FLAIR MR.
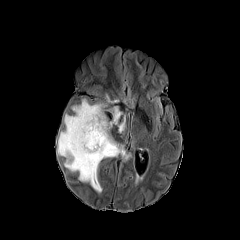
T1-weighted MR image.
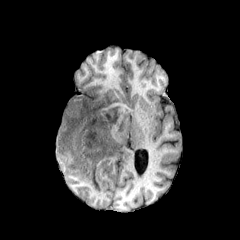
Post-contrast T1-weighted MR.
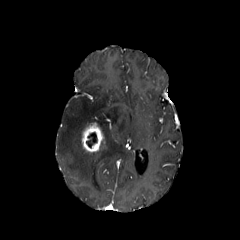
T2-weighted magnetic resonance.
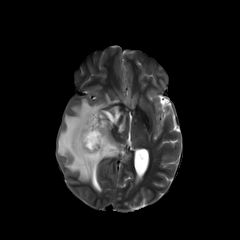
Head
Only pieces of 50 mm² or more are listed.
necrotic tumor core: [86, 132, 97, 148] | peritumoral edema: [109, 106, 122, 124], [57, 98, 131, 192], [118, 117, 125, 132] | enhancing tumor: [81, 122, 104, 152]